Head.
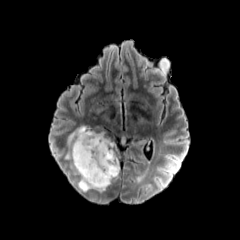
FLAIR MR image.
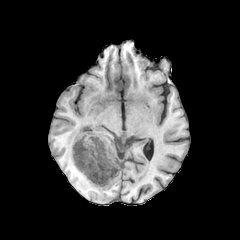
Same slice, T1-weighted magnetic resonance.
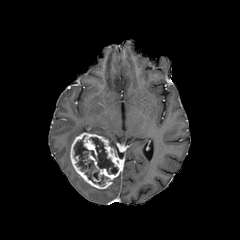
Post-contrast T1-weighted magnetic resonance.
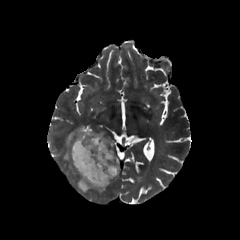
Same slice, T2-weighted MRI.
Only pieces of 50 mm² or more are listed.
enhancing tumor: <bbox>70, 132, 120, 189</bbox> | peritumoral edema: <bbox>65, 125, 105, 161</bbox>, <bbox>78, 177, 105, 192</bbox> | necrotic tumor core: <bbox>73, 135, 118, 184</bbox>